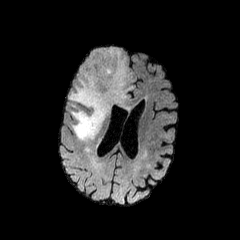
FLAIR MRI.
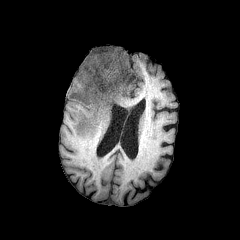
T1-weighted MRI of the same slice.
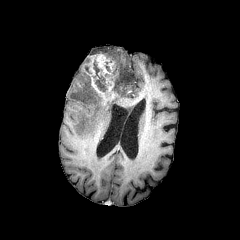
Post-contrast T1-weighted MRI of the same slice.
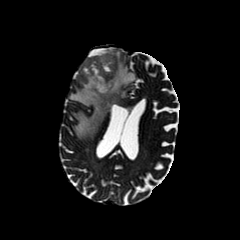
T2-weighted MR.
Axial view, Brain
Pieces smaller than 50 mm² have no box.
Annotated regions:
• peritumoral edema: x1=69, y1=47, x2=135, y2=140
• necrotic tumor core: x1=93, y1=60, x2=107, y2=91
• enhancing tumor: x1=82, y1=51, x2=120, y2=107